Axial plane | 240x240 px | Head
FLAIR MR image.
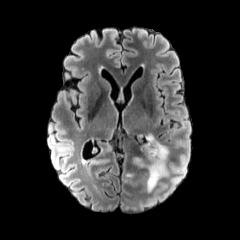
T1-weighted MR.
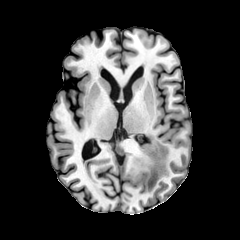
Post-contrast T1-weighted MR.
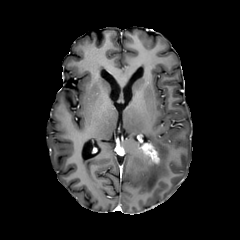
T2-weighted MR image.
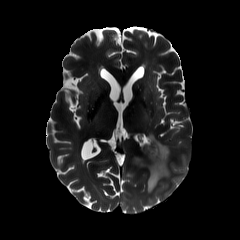
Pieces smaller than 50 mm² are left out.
enhancing tumor — l=140, t=143, r=159, b=164
peritumoral edema — l=132, t=134, r=168, b=192